FLAIR MRI.
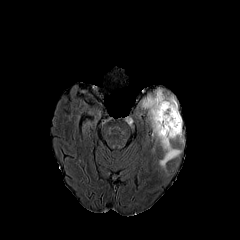
T1-weighted MRI.
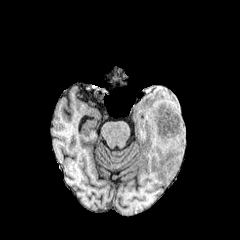
Post-contrast T1-weighted MRI.
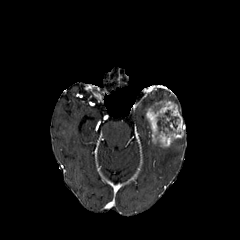
T2-weighted MR image.
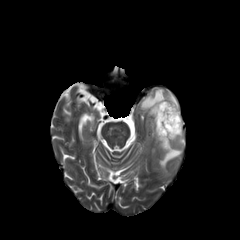
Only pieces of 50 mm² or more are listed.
Annotated regions:
* enhancing tumor: [146, 100, 183, 148]
* peritumoral edema: [159, 143, 181, 171], [140, 88, 177, 112]
* necrotic tumor core: [157, 117, 172, 131]